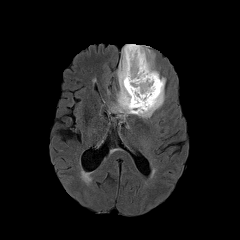
FLAIR MR.
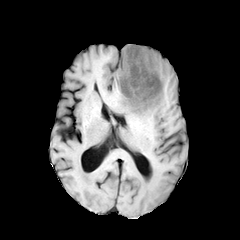
T1-weighted MR image of the same slice.
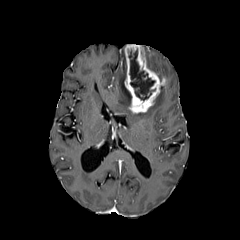
Post-contrast T1-weighted MR.
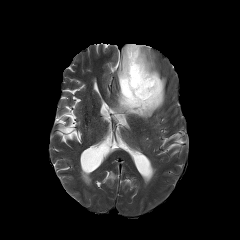
T2-weighted MRI.
Head
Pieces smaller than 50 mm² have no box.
2 peritumoral edema regions appear at 148 54 164 79, 111 48 164 118. The largest enhancing tumor region appears at 124 44 165 113. The necrotic tumor core is bounded by 129 49 154 100.